Brain; Slice 102 of 155; Axial view
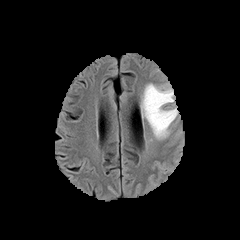
FLAIR MR.
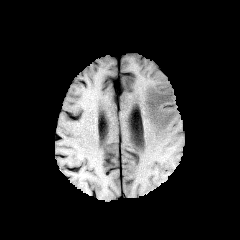
T1-weighted magnetic resonance.
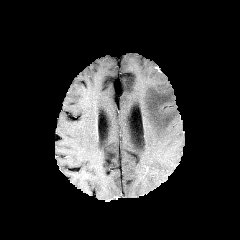
Post-contrast T1-weighted MR image of the same slice.
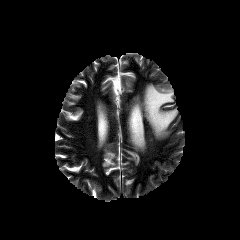
T2-weighted MR image of the same slice.
• peritumoral edema: <bbox>141, 83, 177, 139</bbox>